FLAIR MR.
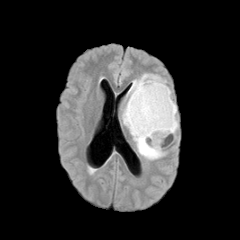
T1-weighted magnetic resonance.
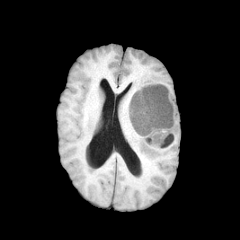
Post-contrast T1-weighted magnetic resonance.
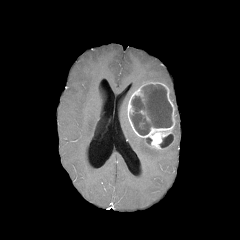
T2-weighted MR.
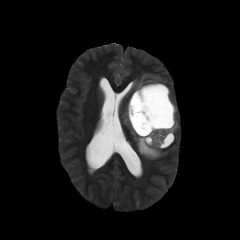
Head, Axial plane
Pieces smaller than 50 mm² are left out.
peritumoral edema: 127 73 166 101, 172 116 178 133, 122 102 165 159 | enhancing tumor: 127 81 176 149 | necrotic tumor core: 160 134 173 147, 130 84 172 135